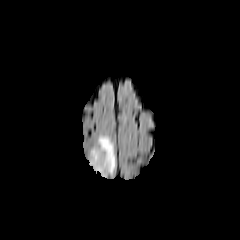
FLAIR MR image.
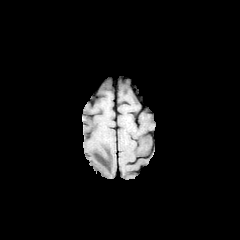
T1-weighted magnetic resonance.
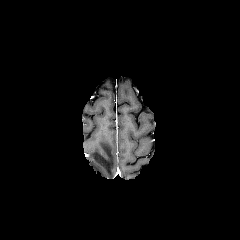
Post-contrast T1-weighted MR of the same slice.
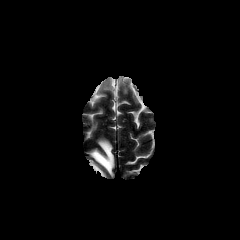
T2-weighted MR image of the same slice.
peritumoral edema = l=89, t=136, r=115, b=177